Brain | 240x240 px | Slice 87 of 155
FLAIR magnetic resonance.
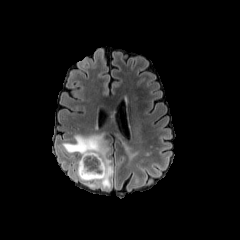
T1-weighted MRI.
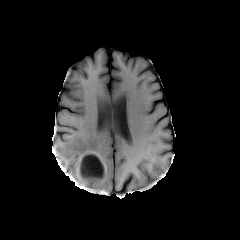
Post-contrast T1-weighted magnetic resonance.
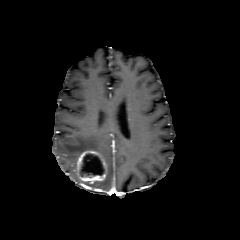
T2-weighted MRI.
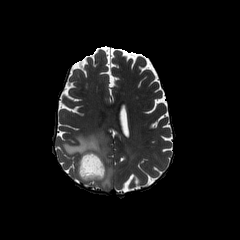
The enhancing tumor is at x1=77, y1=151, x2=106, y2=182. The necrotic tumor core is at x1=80, y1=153, x2=104, y2=177. The peritumoral edema is located at x1=62, y1=129, x2=140, y2=189.